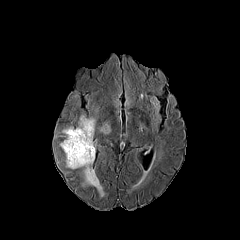
FLAIR MR image.
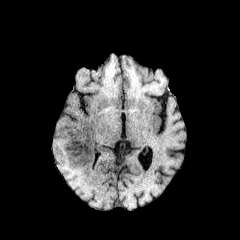
T1-weighted MR image.
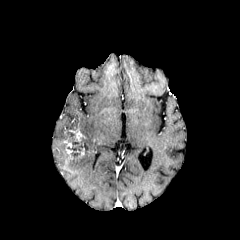
Post-contrast T1-weighted magnetic resonance.
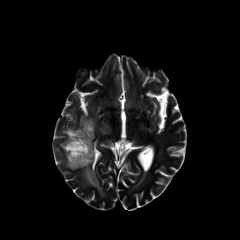
T2-weighted MR.
Axial view | Brain
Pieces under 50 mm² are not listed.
enhancing tumor — (left=69, top=129, right=84, bottom=141), (left=64, top=140, right=73, bottom=159), (left=74, top=148, right=87, bottom=157)
necrotic tumor core — (left=67, top=132, right=88, bottom=156)
peritumoral edema — (left=60, top=115, right=104, bottom=196), (left=100, top=124, right=109, bottom=133)